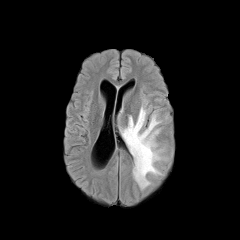
FLAIR MRI.
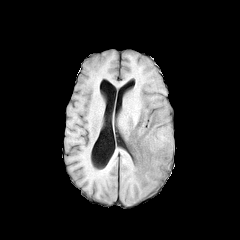
Same slice, T1-weighted MR image.
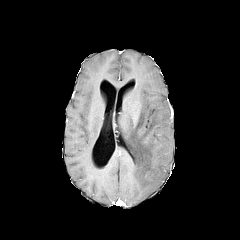
Same slice, post-contrast T1-weighted magnetic resonance.
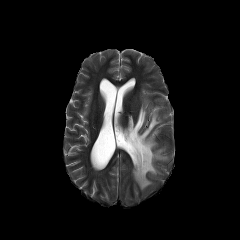
T2-weighted MRI.
Image size 240x240
peritumoral_edema:
  - [x1=120, y1=106, x2=166, y2=189]